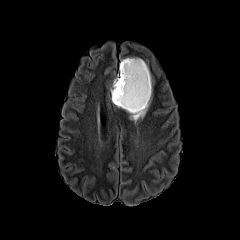
FLAIR MRI.
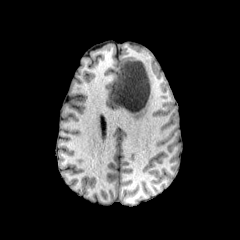
T1-weighted MRI.
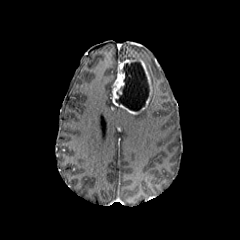
Post-contrast T1-weighted MR.
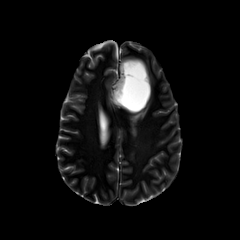
Same slice, T2-weighted MRI.
Head; Image size 240x240
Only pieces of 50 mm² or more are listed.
enhancing tumor — [x1=112, y1=59, x2=151, y2=114]
necrotic tumor core — [x1=115, y1=61, x2=149, y2=111]
peritumoral edema — [x1=130, y1=94, x2=151, y2=122], [x1=120, y1=57, x2=140, y2=62], [x1=144, y1=61, x2=152, y2=93]